Axial view
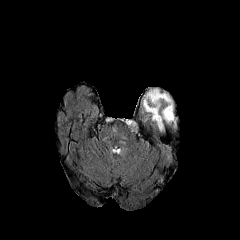
FLAIR MR.
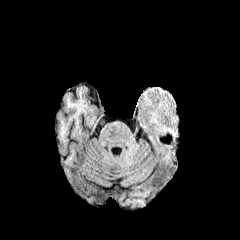
T1-weighted MR image.
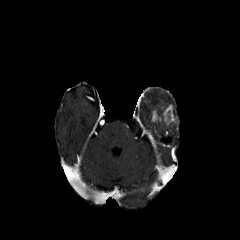
Post-contrast T1-weighted MRI.
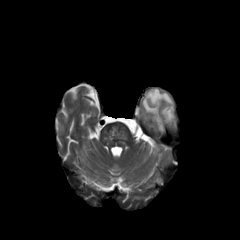
Same slice, T2-weighted MRI.
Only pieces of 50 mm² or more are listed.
Findings:
• peritumoral edema: (left=154, top=121, right=163, bottom=130), (left=142, top=88, right=173, bottom=115)
• enhancing tumor: (left=152, top=104, right=177, bottom=125)